240x240
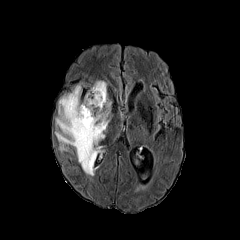
FLAIR MR image.
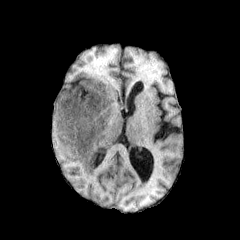
Same slice, T1-weighted MRI.
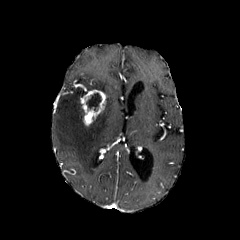
Same slice, post-contrast T1-weighted MR image.
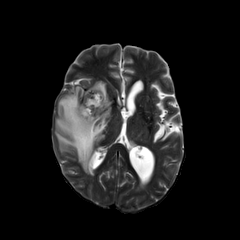
T2-weighted MRI of the same slice.
Annotated regions:
• peritumoral edema: 55 80 111 175
• necrotic tumor core: 86 93 101 110
• enhancing tumor: 82 89 106 125